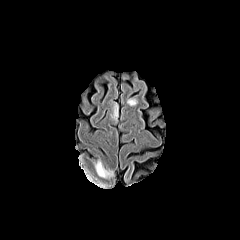
FLAIR MR.
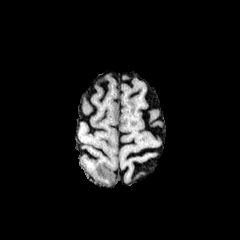
T1-weighted magnetic resonance.
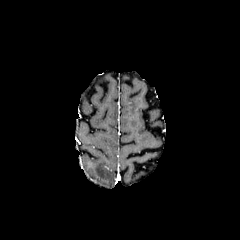
Same slice, post-contrast T1-weighted MR image.
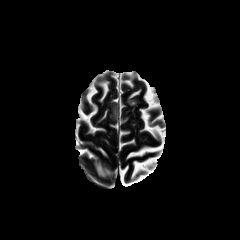
T2-weighted MR.
Head; Axial plane
peritumoral edema = rect(126, 97, 138, 106); rect(92, 158, 116, 179); rect(109, 99, 118, 122)